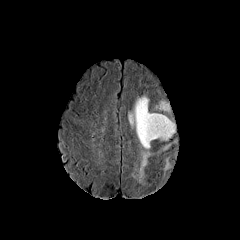
FLAIR MR image.
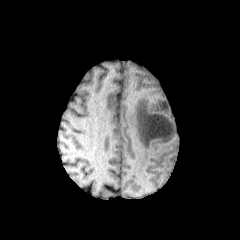
Same slice, T1-weighted MR image.
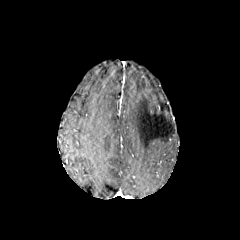
Post-contrast T1-weighted MRI of the same slice.
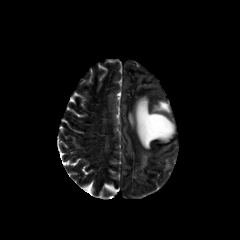
Same slice, T2-weighted MRI.
Axial slice. Head.
{"peritumoral_edema": ["[159, 101, 169, 111]", "[128, 96, 175, 184]", "[164, 158, 170, 170]"]}